FLAIR MR.
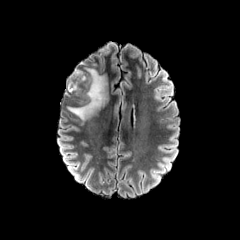
T1-weighted MR.
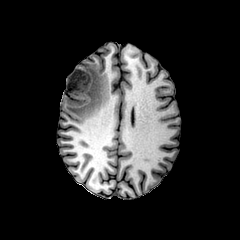
Post-contrast T1-weighted MRI.
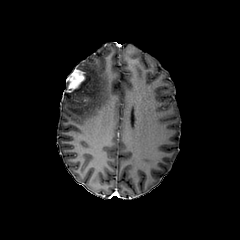
T2-weighted MR.
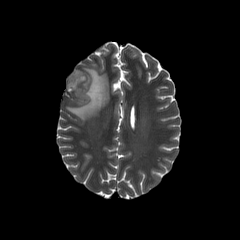
Axial plane | 240x240 px
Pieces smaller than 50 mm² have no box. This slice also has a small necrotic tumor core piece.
The largest peritumoral edema region lies within x1=67 y1=68 x2=107 y2=121. The largest enhancing tumor region is at x1=66 y1=69 x2=85 y2=92.